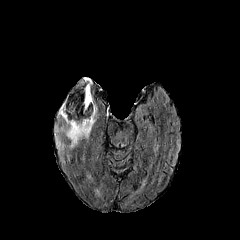
FLAIR magnetic resonance.
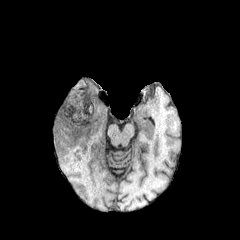
Same slice, T1-weighted MR image.
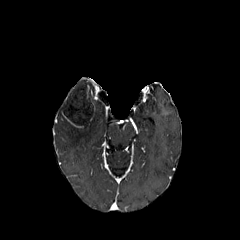
Post-contrast T1-weighted magnetic resonance of the same slice.
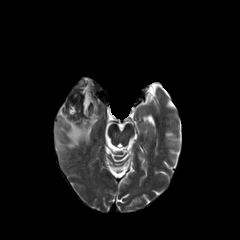
T2-weighted MR image.
Axial view. Head. Image size 240x240.
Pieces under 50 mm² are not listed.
The largest necrotic tumor core region is bounded by x1=63 y1=81 x2=93 y2=125. The largest peritumoral edema region is bounded by x1=55 y1=104 x2=97 y2=150. 3 enhancing tumor regions are located at x1=65 y1=79 x2=86 y2=103, x1=61 y1=111 x2=83 y2=127, x1=87 y1=85 x2=95 y2=125.